Image width 240 mm; Head; Slice index 78
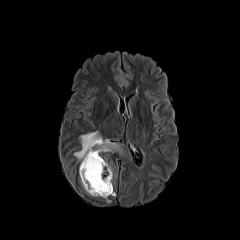
FLAIR MR.
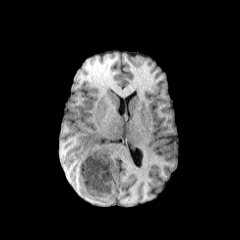
T1-weighted magnetic resonance.
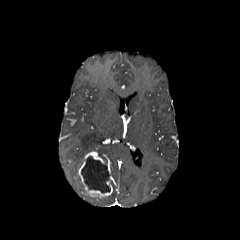
Same slice, post-contrast T1-weighted MR image.
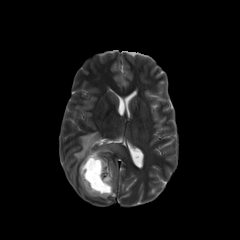
T2-weighted magnetic resonance of the same slice.
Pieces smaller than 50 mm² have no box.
enhancing tumor — box=[78, 151, 112, 197]
peritumoral edema — box=[74, 131, 119, 160]
necrotic tumor core — box=[81, 156, 110, 192]